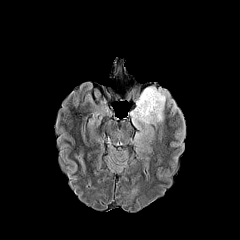
FLAIR MR image.
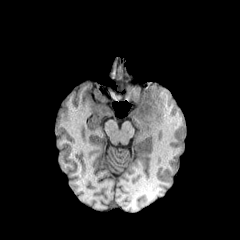
T1-weighted MRI of the same slice.
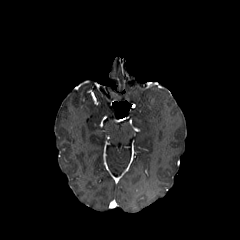
Post-contrast T1-weighted MR.
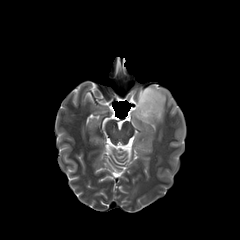
T2-weighted MR.
Axial slice; Brain
peritumoral edema — x1=131, y1=87, x2=168, y2=141